FLAIR magnetic resonance.
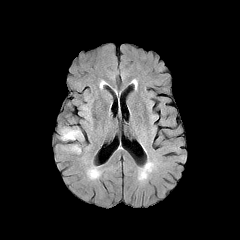
T1-weighted MRI.
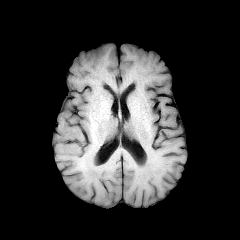
Post-contrast T1-weighted MRI.
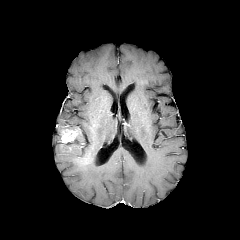
T2-weighted MRI.
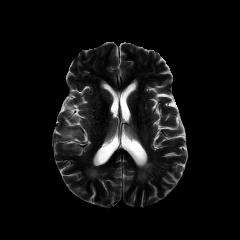
Axial view, Head
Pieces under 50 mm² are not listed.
peritumoral_edema:
  - 70, 144, 81, 153
enhancing_tumor:
  - 61, 128, 81, 144